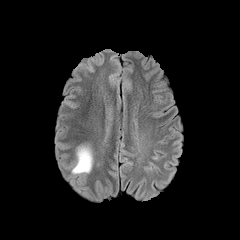
FLAIR MR image.
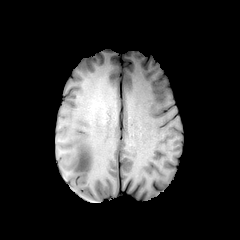
T1-weighted MRI.
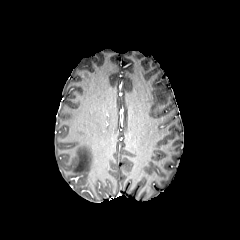
Post-contrast T1-weighted MRI.
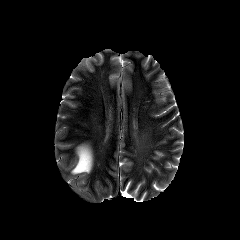
T2-weighted MR.
Segmented structures:
• peritumoral edema: 72:145:93:174